Axial plane; Slice 96/155
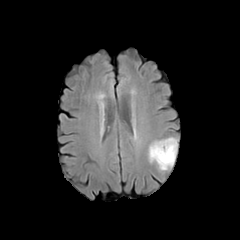
FLAIR magnetic resonance.
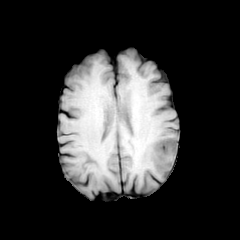
T1-weighted magnetic resonance.
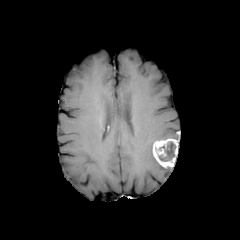
Post-contrast T1-weighted MR of the same slice.
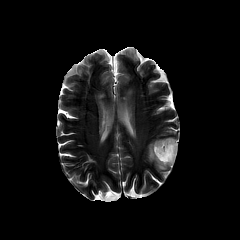
T2-weighted MR.
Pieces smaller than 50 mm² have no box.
<segmentation>
  <peritumoral_edema>l=148, t=140, r=170, b=170</peritumoral_edema>
  <necrotic_tumor_core>l=159, t=142, r=175, b=161</necrotic_tumor_core>
  <enhancing_tumor>l=152, t=138, r=178, b=167</enhancing_tumor>
</segmentation>